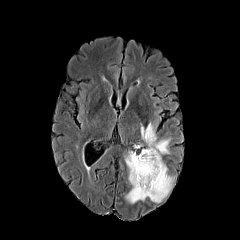
FLAIR MR image.
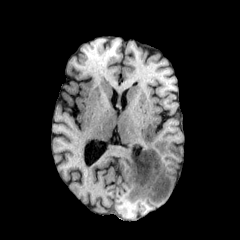
T1-weighted magnetic resonance.
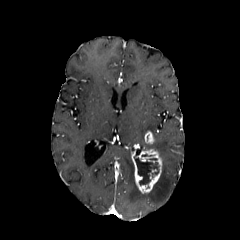
Post-contrast T1-weighted MR.
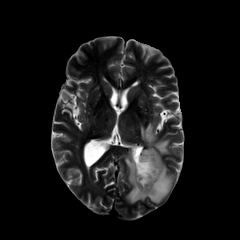
T2-weighted MR.
Brain. 240x240. Axial plane.
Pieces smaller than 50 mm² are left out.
necrotic tumor core — l=134, t=154, r=158, b=185
enhancing tumor — l=144, t=131, r=154, b=144; l=131, t=148, r=162, b=193
peritumoral edema — l=140, t=122, r=170, b=157; l=125, t=152, r=173, b=203